FLAIR MR.
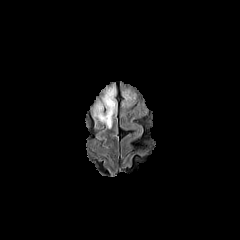
T1-weighted MR image.
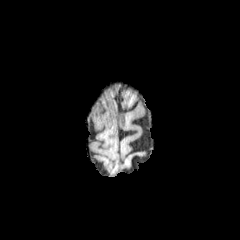
Post-contrast T1-weighted MR.
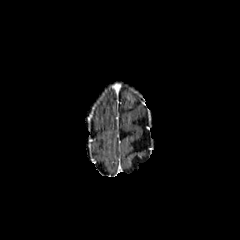
T2-weighted magnetic resonance.
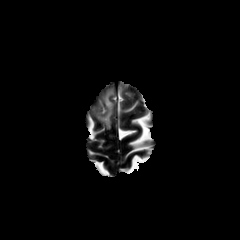
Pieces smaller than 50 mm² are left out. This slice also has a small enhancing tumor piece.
peritumoral edema: x1=93 y1=86 x2=116 y2=128